FLAIR MR image.
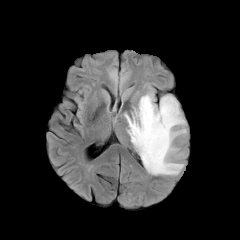
T1-weighted MR image.
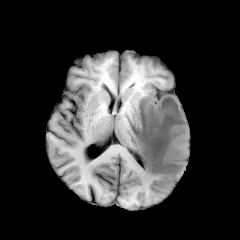
Post-contrast T1-weighted MRI.
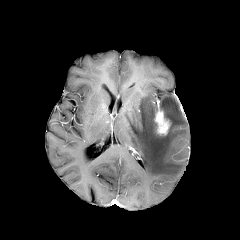
T2-weighted magnetic resonance.
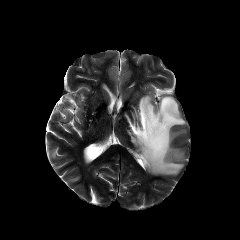
Axial slice.
The enhancing tumor is at (155, 109, 169, 134). The peritumoral edema is located at (124, 93, 186, 175).